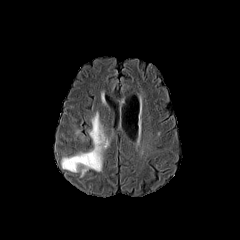
FLAIR MR image.
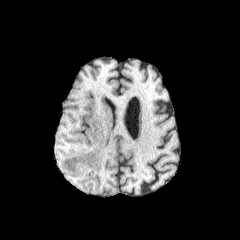
T1-weighted magnetic resonance.
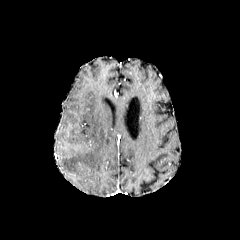
Post-contrast T1-weighted MR of the same slice.
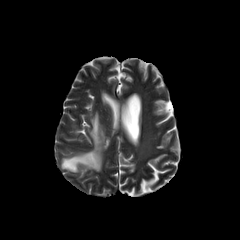
T2-weighted MR of the same slice.
The peritumoral edema is bounded by box(61, 113, 109, 176).